Slice 110/155. Head.
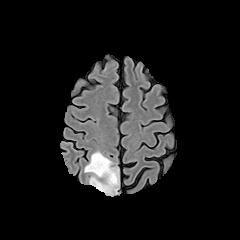
FLAIR MRI.
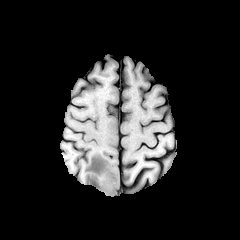
T1-weighted MR.
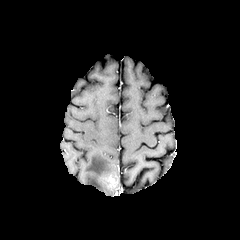
Post-contrast T1-weighted MRI of the same slice.
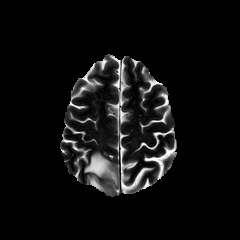
Same slice, T2-weighted MR image.
enhancing tumor: bounding box l=105, t=172, r=117, b=190
peritumoral edema: bounding box l=84, t=151, r=117, b=195